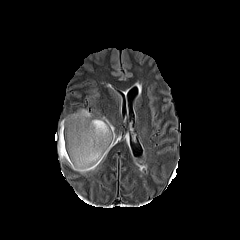
FLAIR MRI.
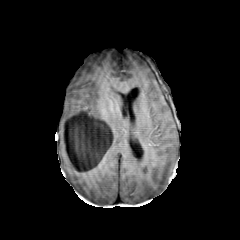
Same slice, T1-weighted MR image.
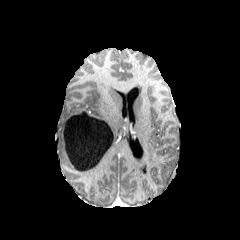
Post-contrast T1-weighted MRI.
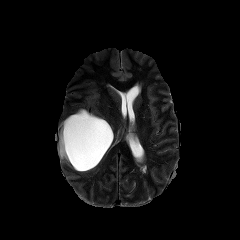
T2-weighted MRI.
<segmentation>
  <peritumoral_edema>(57,108,115,173)</peritumoral_edema>
  <necrotic_tumor_core>(61,111,113,170)</necrotic_tumor_core>
</segmentation>